Axial plane | Image size 240x240
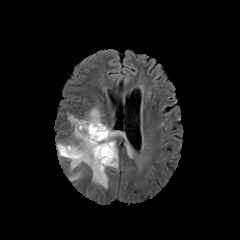
FLAIR MRI.
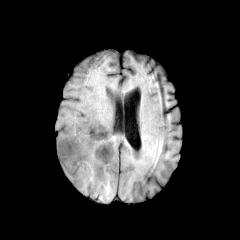
T1-weighted magnetic resonance of the same slice.
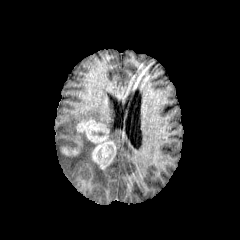
Post-contrast T1-weighted MR image.
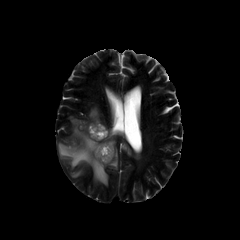
Same slice, T2-weighted magnetic resonance.
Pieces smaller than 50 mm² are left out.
peritumoral_edema:
  - left=57, top=107, right=108, bottom=188
  - left=107, top=147, right=118, bottom=168
  - left=104, top=125, right=121, bottom=145
  - left=70, top=171, right=81, bottom=180
enhancing_tumor:
  - left=61, top=144, right=80, bottom=155
  - left=77, top=119, right=115, bottom=169